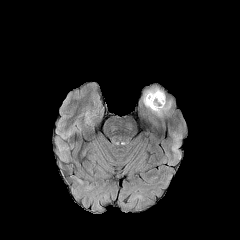
FLAIR MR.
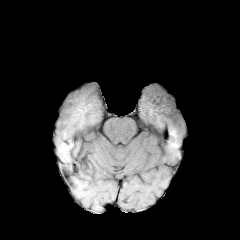
T1-weighted magnetic resonance.
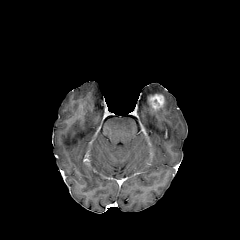
Post-contrast T1-weighted MR image.
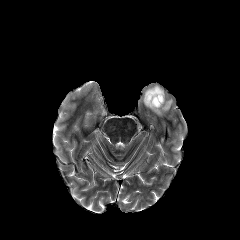
T2-weighted magnetic resonance.
240x240, Head
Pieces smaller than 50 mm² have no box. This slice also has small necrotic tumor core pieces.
Segmented structures:
* peritumoral edema: bbox(143, 87, 171, 115)
* enhancing tumor: bbox(147, 94, 164, 110)